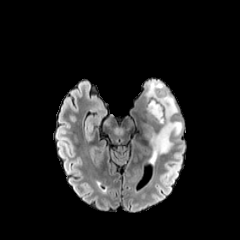
FLAIR MR.
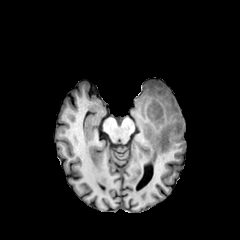
T1-weighted MRI of the same slice.
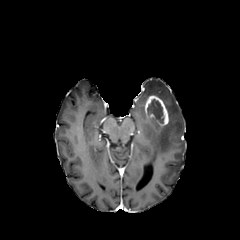
Post-contrast T1-weighted MRI.
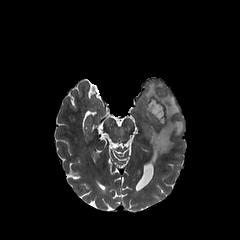
Same slice, T2-weighted MR.
Head, Axial slice
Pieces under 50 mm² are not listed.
peritumoral edema: bounding box box=[143, 80, 183, 164]
enhancing tumor: bounding box box=[144, 94, 168, 125]
necrotic tumor core: bounding box box=[147, 99, 163, 123]